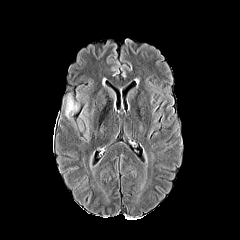
FLAIR MR image.
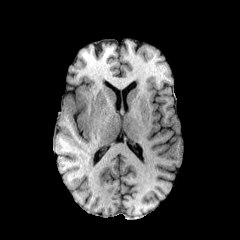
T1-weighted magnetic resonance.
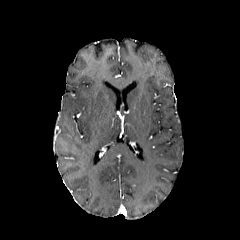
Post-contrast T1-weighted MR.
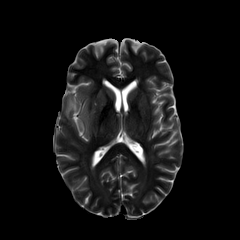
T2-weighted magnetic resonance.
Axial slice; Brain
peritumoral_edema:
  - (left=79, top=103, right=90, bottom=140)
  - (left=63, top=91, right=79, bottom=128)
  - (left=77, top=118, right=84, bottom=131)